Image width 240 mm, 1.00 mm slice spacing, Head
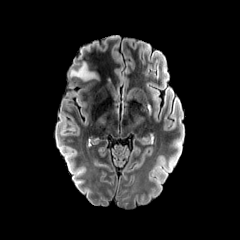
FLAIR MR image.
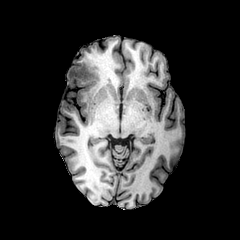
T1-weighted MR image of the same slice.
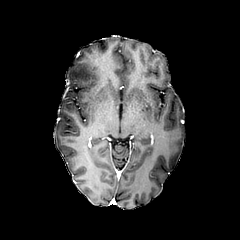
Same slice, post-contrast T1-weighted MR.
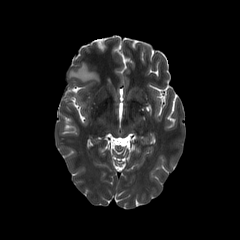
T2-weighted MR image.
peritumoral_edema:
  - [69,62,97,80]